Head, Image width 240 mm, 1.00 mm slice spacing, Image size 240x240
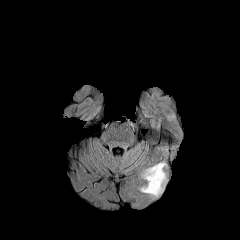
FLAIR MRI.
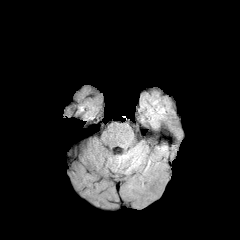
T1-weighted MRI of the same slice.
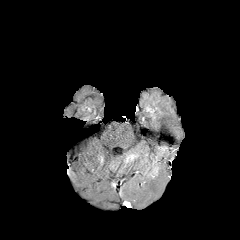
Post-contrast T1-weighted MR image.
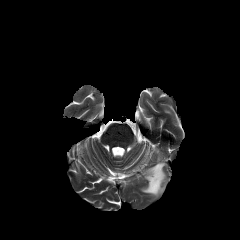
T2-weighted magnetic resonance of the same slice.
enhancing tumor: bounding box box=[150, 167, 158, 177]
peritumoral edema: bounding box box=[140, 161, 166, 197]